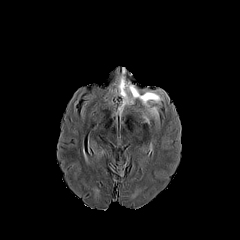
FLAIR magnetic resonance.
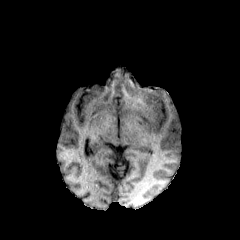
T1-weighted MR.
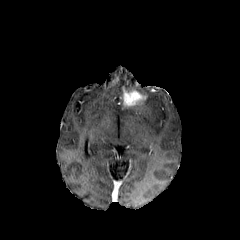
Same slice, post-contrast T1-weighted MR.
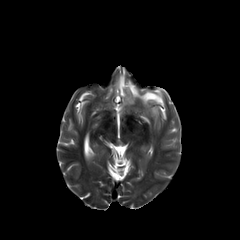
T2-weighted MR image of the same slice.
Axial slice, 240x240
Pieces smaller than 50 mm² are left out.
Findings:
* enhancing tumor: [123, 87, 147, 106]
* peritumoral edema: [118, 74, 135, 97], [141, 91, 161, 118]